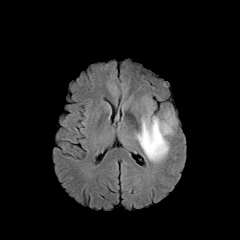
FLAIR MR image.
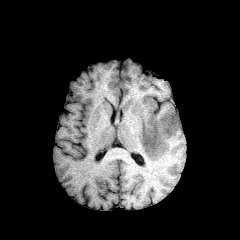
T1-weighted MRI.
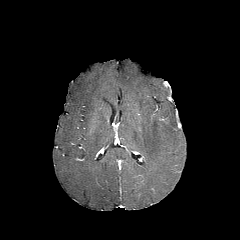
Post-contrast T1-weighted MR of the same slice.
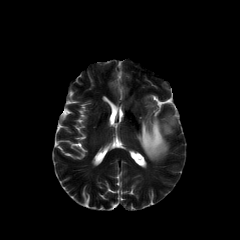
T2-weighted MR image.
240x240. Head.
peritumoral edema at (left=136, top=112, right=176, bottom=161)